FLAIR MR.
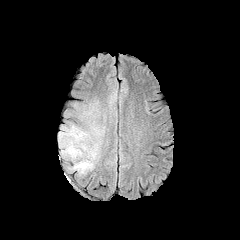
T1-weighted MR image.
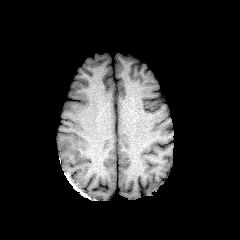
Post-contrast T1-weighted MR.
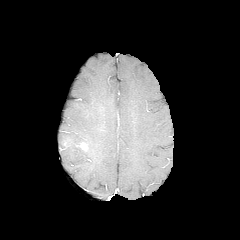
T2-weighted magnetic resonance.
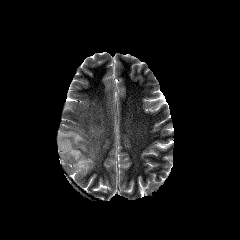
Brain
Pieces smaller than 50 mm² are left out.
* enhancing tumor: [77, 142, 88, 151]
* peritumoral edema: [81, 102, 97, 118], [58, 122, 102, 175]